FLAIR MR image.
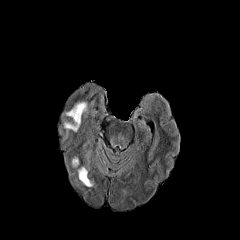
T1-weighted magnetic resonance.
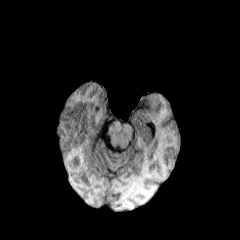
Post-contrast T1-weighted magnetic resonance.
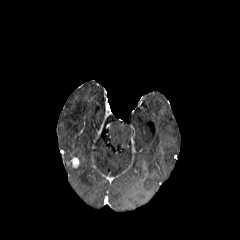
T2-weighted magnetic resonance.
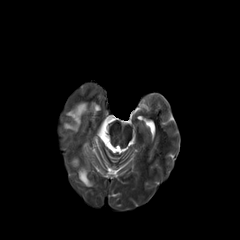
Axial view
peritumoral edema at (64, 102, 87, 131), (78, 167, 93, 186)
enhancing tumor at (72, 157, 79, 167)